FLAIR magnetic resonance.
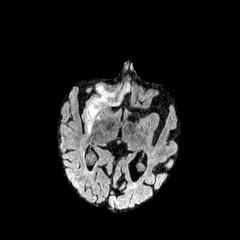
T1-weighted MR image.
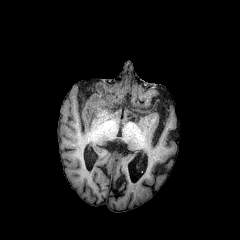
Post-contrast T1-weighted MR image.
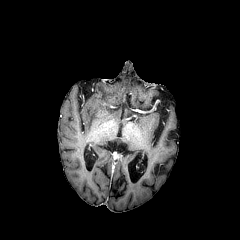
T2-weighted magnetic resonance.
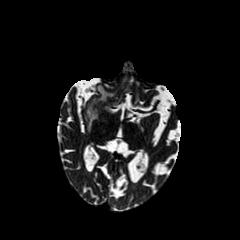
Brain
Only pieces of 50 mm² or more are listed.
peritumoral edema — (left=87, top=85, right=114, bottom=132)